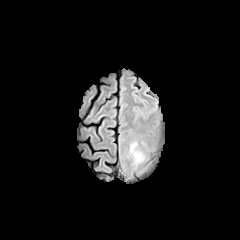
FLAIR MRI.
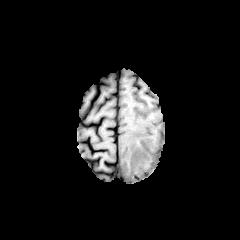
Same slice, T1-weighted MR.
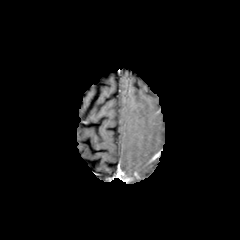
Post-contrast T1-weighted MR image.
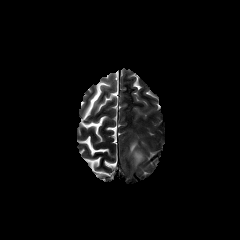
T2-weighted MRI.
Head
peritumoral_edema:
  - 129, 140, 144, 166